Brain.
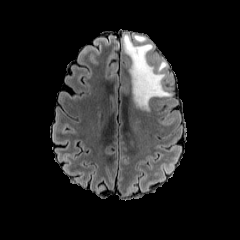
FLAIR MR image.
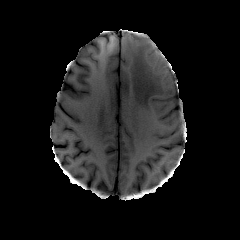
T1-weighted MR image.
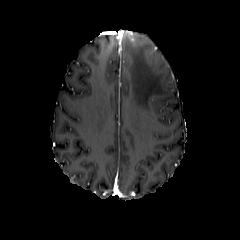
Post-contrast T1-weighted MR image of the same slice.
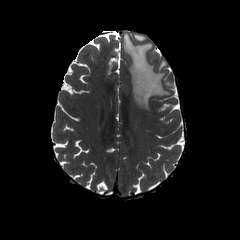
Same slice, T2-weighted MR.
The peritumoral edema is bounded by <box>123,33,171,110</box>.